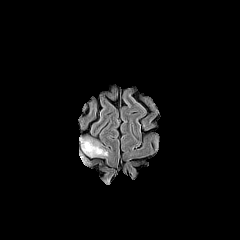
FLAIR magnetic resonance.
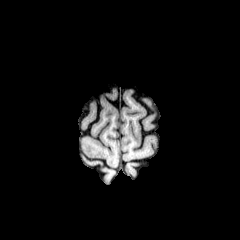
Same slice, T1-weighted magnetic resonance.
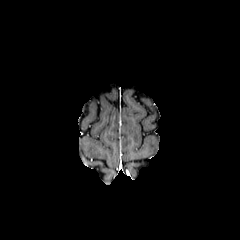
Post-contrast T1-weighted magnetic resonance of the same slice.
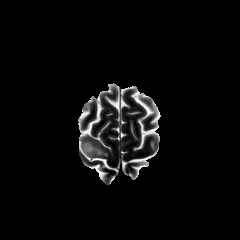
Same slice, T2-weighted MRI.
240x240 px
{"peritumoral_edema": ["region(81, 140, 107, 156)"]}